FLAIR MR image.
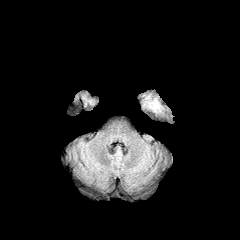
T1-weighted MR image.
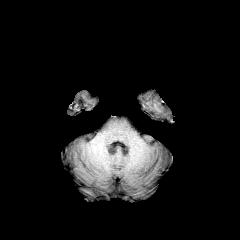
Post-contrast T1-weighted magnetic resonance.
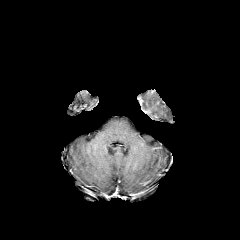
T2-weighted MRI.
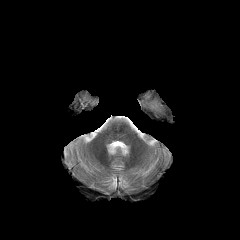
Brain; Axial view
The peritumoral edema lies within box(149, 100, 159, 109).